FLAIR MR image.
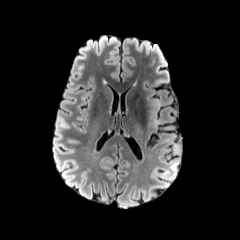
T1-weighted MR.
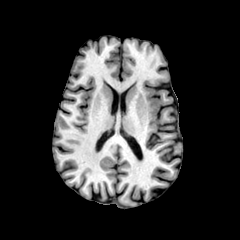
Post-contrast T1-weighted magnetic resonance.
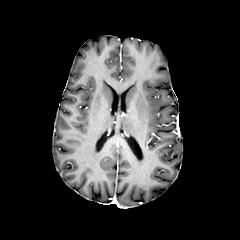
T2-weighted magnetic resonance.
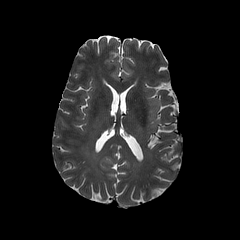
Image size 240x240
Annotated regions:
• peritumoral edema: <box>150,99,160,125</box>